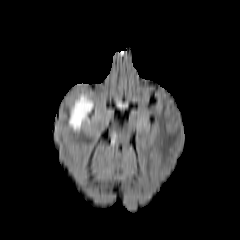
FLAIR MRI.
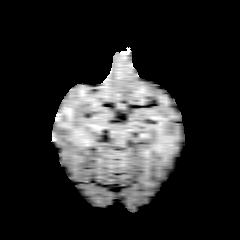
T1-weighted magnetic resonance of the same slice.
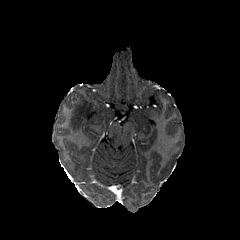
Post-contrast T1-weighted MR of the same slice.
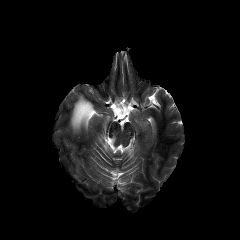
Same slice, T2-weighted MR.
Head. Image size 240x240.
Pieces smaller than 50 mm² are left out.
Findings:
- peritumoral edema: box(69, 94, 93, 131)